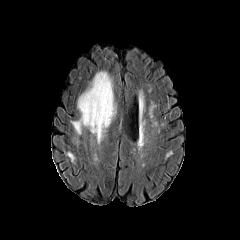
FLAIR MRI.
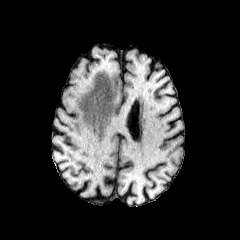
T1-weighted magnetic resonance.
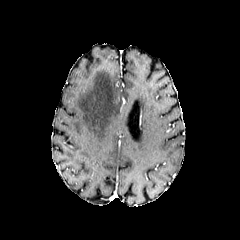
Same slice, post-contrast T1-weighted MR.
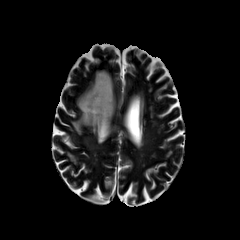
T2-weighted magnetic resonance of the same slice.
Annotated regions:
* peritumoral edema: x1=71 y1=70 x2=116 y2=142